Image covers 240 mm x 240 mm; Head
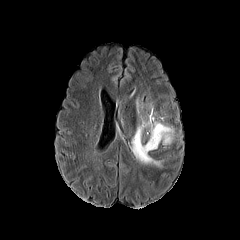
FLAIR MRI.
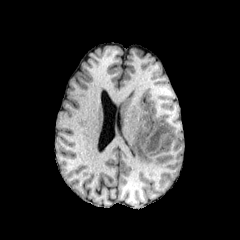
T1-weighted MR image.
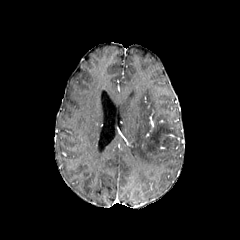
Post-contrast T1-weighted magnetic resonance.
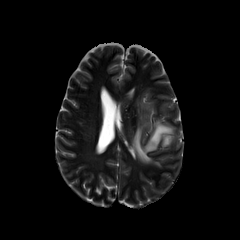
Same slice, T2-weighted MRI.
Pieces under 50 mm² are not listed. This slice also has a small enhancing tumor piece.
The largest peritumoral edema region is bounded by rect(131, 107, 174, 166).